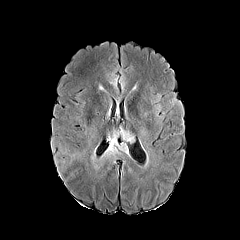
FLAIR MR.
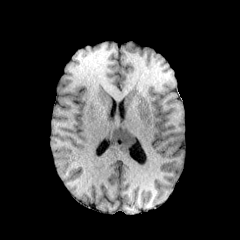
Same slice, T1-weighted MR.
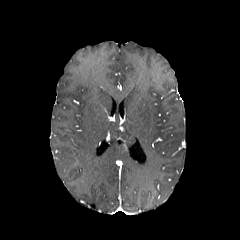
Same slice, post-contrast T1-weighted magnetic resonance.
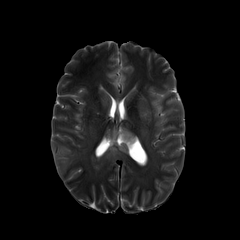
Same slice, T2-weighted magnetic resonance.
Brain. Axial view. 240x240.
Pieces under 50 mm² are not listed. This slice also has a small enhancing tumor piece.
Findings:
* peritumoral edema: 104 128 134 158